Head
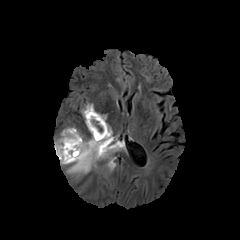
FLAIR magnetic resonance.
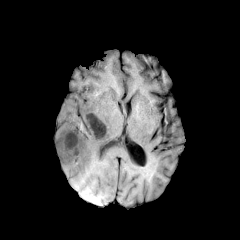
T1-weighted magnetic resonance of the same slice.
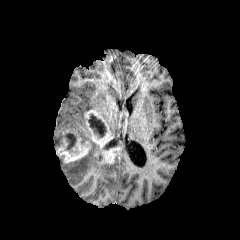
Post-contrast T1-weighted MR image.
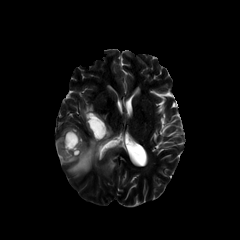
T2-weighted magnetic resonance.
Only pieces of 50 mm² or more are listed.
3 necrotic tumor core regions appear at [87, 114, 106, 137], [66, 134, 76, 150], [102, 138, 119, 150]. 2 enhancing tumor regions are located at [85, 110, 121, 163], [56, 130, 90, 163]. The 3 largest peritumoral edema regions are bounded by [55, 127, 104, 177], [106, 162, 116, 171], [81, 103, 94, 117].